Slice index 92; Axial view
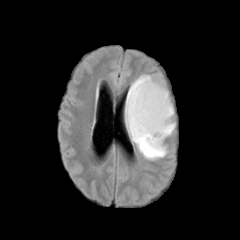
FLAIR MRI.
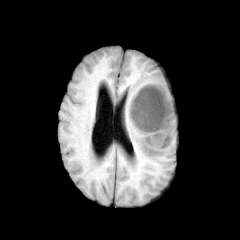
Same slice, T1-weighted magnetic resonance.
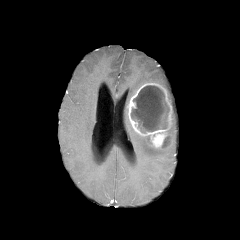
Post-contrast T1-weighted MR.
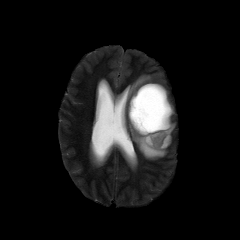
T2-weighted magnetic resonance of the same slice.
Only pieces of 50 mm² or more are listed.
* peritumoral edema: x1=167 y1=107 x2=175 y2=136, x1=125 y1=74 x2=168 y2=160
* enhancing tumor: x1=128 y1=83 x2=172 y2=149
* necrotic tumor core: x1=131 y1=85 x2=169 y2=132